Axial slice | Image width 240 mm | 240x240 | Brain
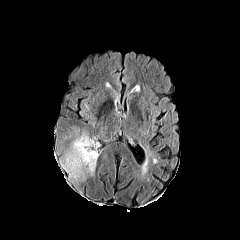
FLAIR MR.
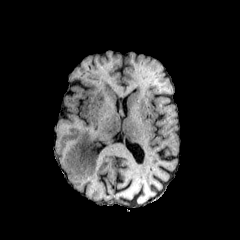
Same slice, T1-weighted magnetic resonance.
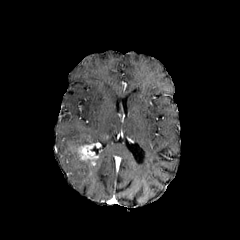
Same slice, post-contrast T1-weighted MR.
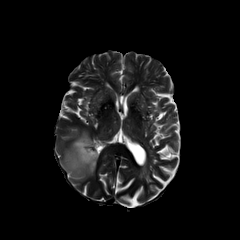
T2-weighted magnetic resonance.
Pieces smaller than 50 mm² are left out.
peritumoral_edema:
  - left=62, top=133, right=95, bottom=180
enhancing_tumor:
  - left=77, top=143, right=97, bottom=165
necrotic_tumor_core:
  - left=89, top=145, right=98, bottom=156